Brain. Axial slice.
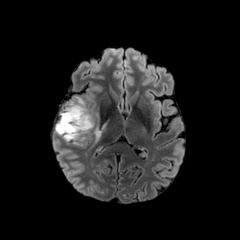
FLAIR MRI.
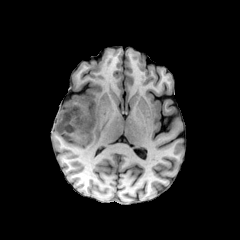
T1-weighted MRI.
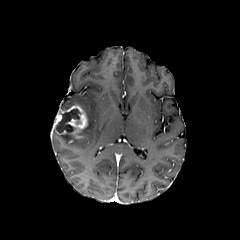
Post-contrast T1-weighted MRI.
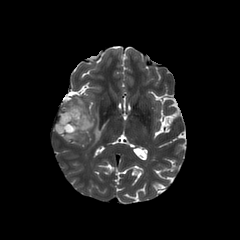
Same slice, T2-weighted MR image.
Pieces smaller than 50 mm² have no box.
peritumoral edema = [64,97,86,113], [63,134,77,140], [79,114,92,135], [95,129,101,140]
enhancing tumor = [55,105,87,138]
necrotic tumor core = [57,108,80,132]